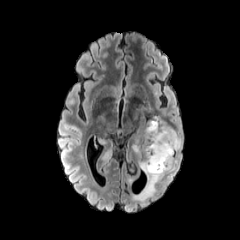
FLAIR magnetic resonance.
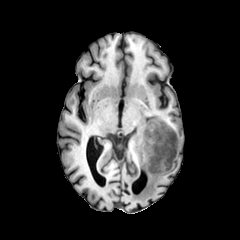
T1-weighted MR image.
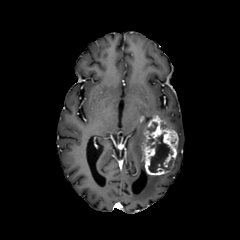
Post-contrast T1-weighted MR of the same slice.
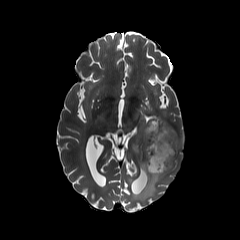
T2-weighted MR of the same slice.
Brain | 240x240
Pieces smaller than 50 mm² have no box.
enhancing tumor: <bbox>142, 115, 178, 175</bbox> | necrotic tumor core: <bbox>147, 132, 172, 172</bbox>, <bbox>148, 122, 157, 132</bbox> | peritumoral edema: <bbox>131, 142, 163, 200</bbox>, <bbox>169, 131, 182, 170</bbox>